Axial slice | Head
FLAIR MR.
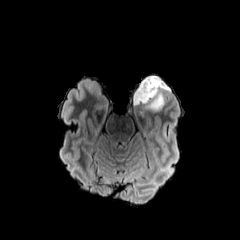
T1-weighted MR image.
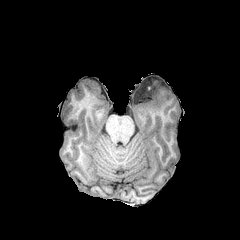
Post-contrast T1-weighted MR.
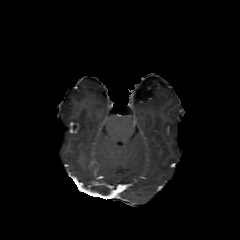
T2-weighted magnetic resonance.
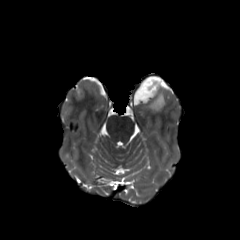
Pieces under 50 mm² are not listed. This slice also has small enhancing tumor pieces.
Segmented structures:
* peritumoral edema: 133 76 170 111